Image width 240 mm, 240x240, Axial plane
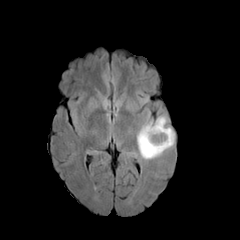
FLAIR MR image.
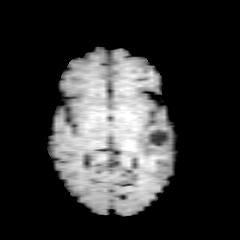
T1-weighted magnetic resonance.
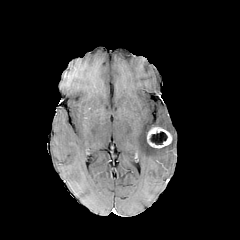
Post-contrast T1-weighted MR image of the same slice.
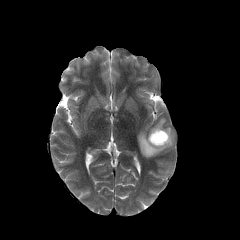
T2-weighted MR.
{
  "peritumoral_edema": [
    "x1=137 y1=116 x2=174 y2=159"
  ],
  "necrotic_tumor_core": [
    "x1=150 y1=131 x2=167 y2=144"
  ],
  "enhancing_tumor": [
    "x1=147 y1=127 x2=172 y2=148"
  ]
}